Slice 35/155; Axial slice; Head
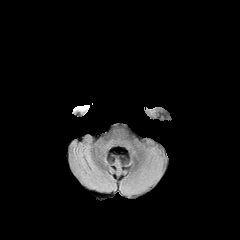
FLAIR MR.
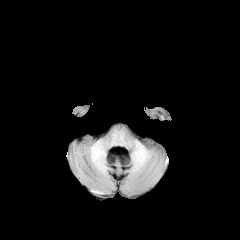
Same slice, T1-weighted MR image.
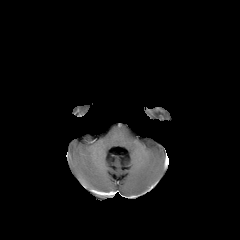
Post-contrast T1-weighted MR image.
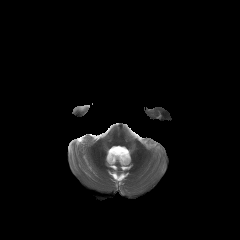
T2-weighted MRI.
peritumoral edema: bounding box bbox(74, 105, 89, 110)